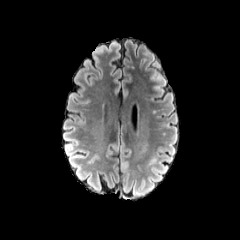
FLAIR magnetic resonance.
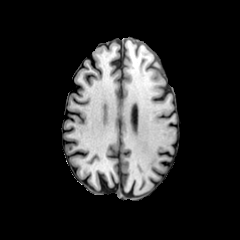
T1-weighted magnetic resonance.
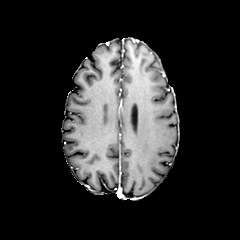
Post-contrast T1-weighted magnetic resonance.
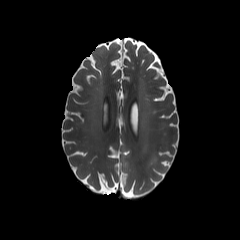
T2-weighted MRI.
Head | Axial slice
peritumoral edema at 149, 158, 160, 167; 142, 143, 149, 153